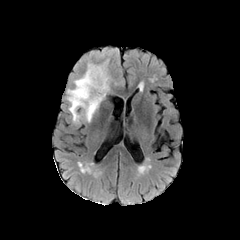
FLAIR MRI.
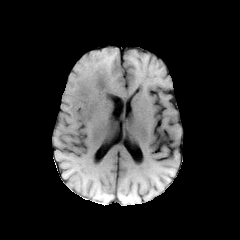
Same slice, T1-weighted MR image.
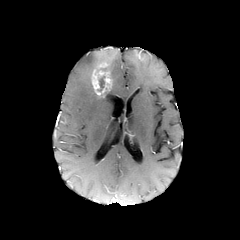
Post-contrast T1-weighted MRI.
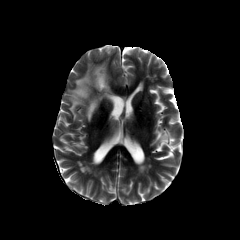
T2-weighted MR of the same slice.
Head. Axial view.
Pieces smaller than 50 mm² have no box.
enhancing tumor at [92, 69, 110, 97]
peritumoral edema at [67, 63, 107, 122]
necrotic tumor core at [98, 76, 104, 91]